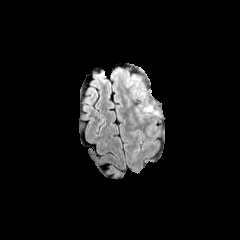
FLAIR MR image.
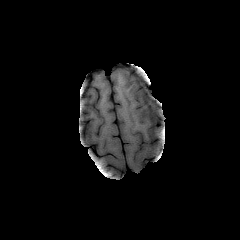
T1-weighted MR of the same slice.
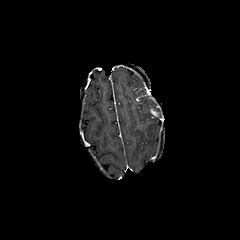
Post-contrast T1-weighted MR of the same slice.
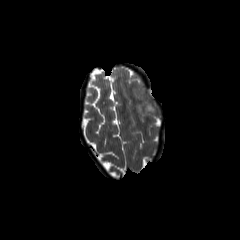
T2-weighted MR image of the same slice.
Head; 240x240 px
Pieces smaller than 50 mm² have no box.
The 2 largest peritumoral edema regions are bounded by l=135, t=96, r=153, b=120; l=120, t=71, r=145, b=97. 2 enhancing tumor regions appear at l=135, t=91, r=150, b=102; l=148, t=106, r=158, b=116.